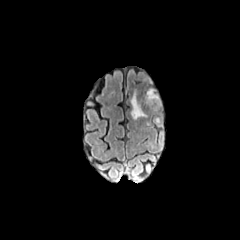
FLAIR MR.
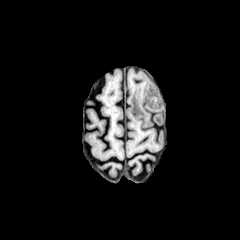
T1-weighted MR image.
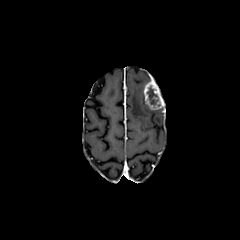
Post-contrast T1-weighted MR image.
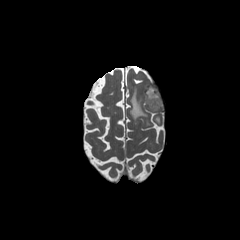
T2-weighted MR image of the same slice.
Head
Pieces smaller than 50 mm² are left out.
Annotated regions:
- peritumoral edema: bbox=[130, 89, 147, 119]
- enhancing tumor: bbox=[143, 80, 163, 110]
- necrotic tumor core: bbox=[147, 87, 158, 104]